Slice index 36
FLAIR MRI.
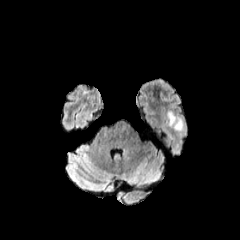
T1-weighted MR image.
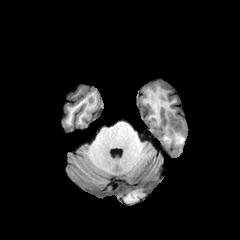
Post-contrast T1-weighted MRI.
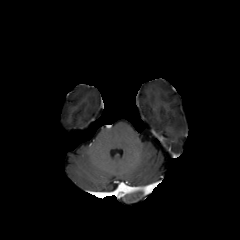
T2-weighted MR.
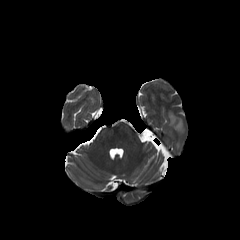
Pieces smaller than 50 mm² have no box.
The largest peritumoral edema region appears at <bbox>167, 111, 184, 134</bbox>.